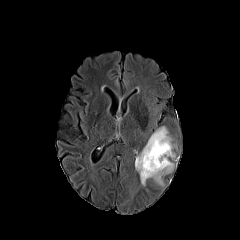
FLAIR MR image.
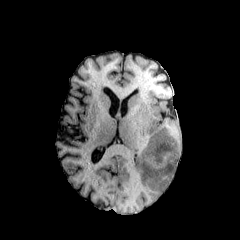
T1-weighted MR image.
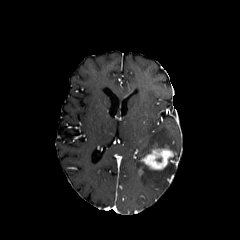
Same slice, post-contrast T1-weighted MRI.
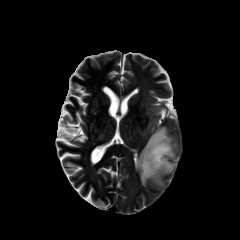
T2-weighted MR.
Image size 240x240. Axial plane. Brain.
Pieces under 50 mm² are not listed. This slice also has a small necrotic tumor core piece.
peritumoral edema: bounding box 135,126,176,186
enhancing tumor: bounding box 140,145,176,170